FLAIR magnetic resonance.
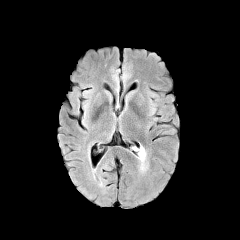
T1-weighted MR.
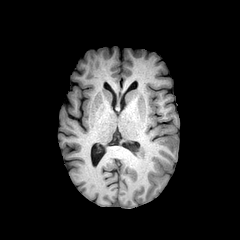
Post-contrast T1-weighted MR.
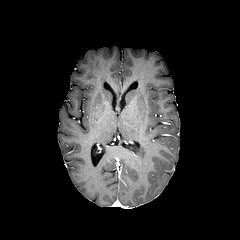
T2-weighted MR image.
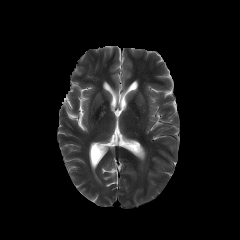
240x240. Axial slice.
peritumoral edema: 135:147:145:161